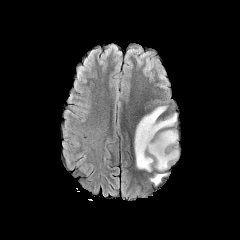
FLAIR magnetic resonance.
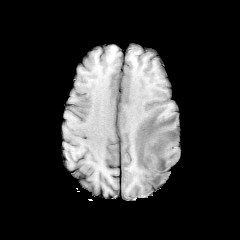
T1-weighted MRI of the same slice.
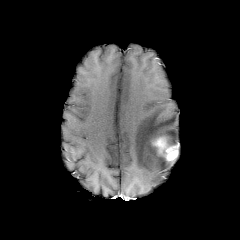
Post-contrast T1-weighted MR.
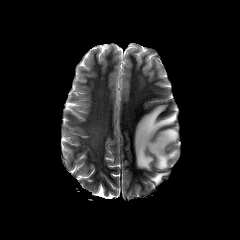
T2-weighted MR image.
240x240 px | Head
peritumoral edema: (x1=134, y1=105, x2=178, y2=171), (x1=150, y1=173, x2=167, y2=184) | enhancing tumor: (x1=152, y1=135, x2=178, y2=162)